Image width 240 mm | Head | Slice index 37
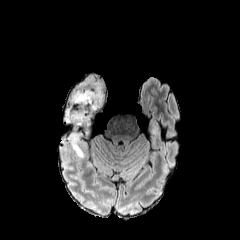
FLAIR MR image.
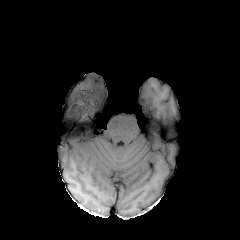
T1-weighted MRI of the same slice.
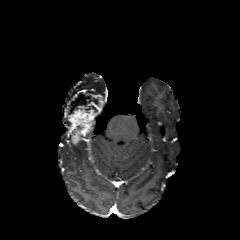
Post-contrast T1-weighted MRI of the same slice.
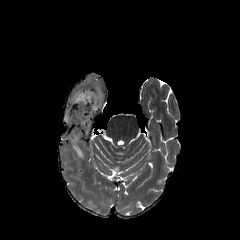
T2-weighted magnetic resonance of the same slice.
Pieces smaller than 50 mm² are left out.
The enhancing tumor appears at (left=68, top=90, right=103, bottom=145). The necrotic tumor core lies within (left=74, top=92, right=99, bottom=112). The 2 largest peritumoral edema regions appear at (left=63, top=98, right=75, bottom=125), (left=72, top=142, right=84, bottom=157).